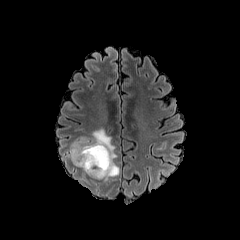
FLAIR MR image.
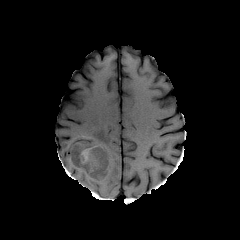
T1-weighted magnetic resonance.
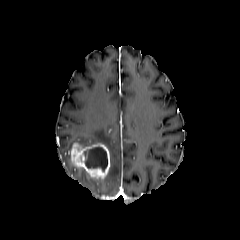
Post-contrast T1-weighted MR image.
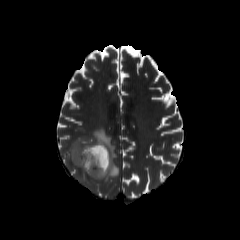
Same slice, T2-weighted MR image.
Axial view | Head
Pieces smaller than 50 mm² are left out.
The enhancing tumor is at <bbox>70, 143, 110, 178</bbox>. The largest peritumoral edema region appears at <bbox>67, 128, 119, 181</bbox>. The necrotic tumor core appears at <bbox>84, 146, 107, 170</bbox>.